FLAIR magnetic resonance.
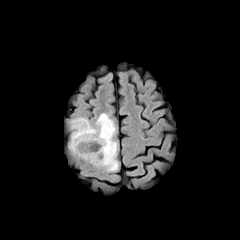
T1-weighted MR.
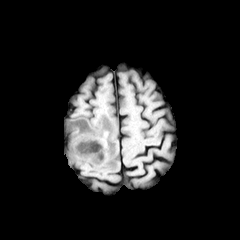
Post-contrast T1-weighted MR image.
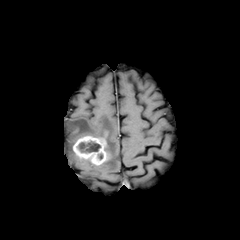
T2-weighted MR image.
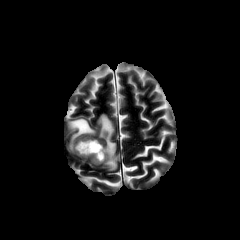
Brain
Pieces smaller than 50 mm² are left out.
{"peritumoral_edema": ["bbox(68, 113, 118, 171)"], "enhancing_tumor": ["bbox(73, 136, 109, 165)"], "necrotic_tumor_core": ["bbox(78, 141, 100, 152)"]}